Image width 240 mm, 1.00 mm slice spacing
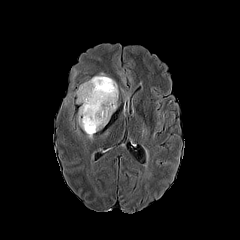
FLAIR magnetic resonance.
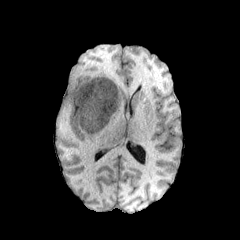
T1-weighted MR.
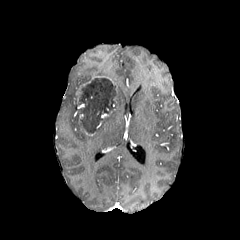
Post-contrast T1-weighted MR image.
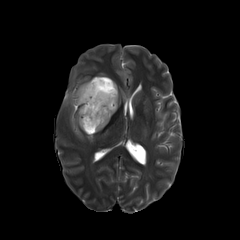
T2-weighted MRI.
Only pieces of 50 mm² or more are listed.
Findings:
- peritumoral edema: <box>78,108,86,132</box>, <box>93,114,111,133</box>, <box>65,91,76,105</box>
- enhancing tumor: <box>76,75,117,96</box>
- necrotic tumor core: <box>79,78,116,133</box>